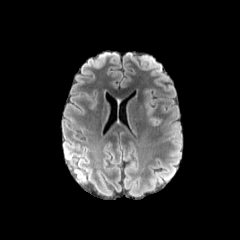
FLAIR MRI.
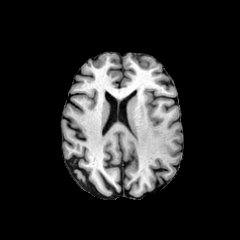
T1-weighted MRI.
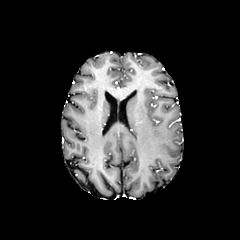
Post-contrast T1-weighted MR.
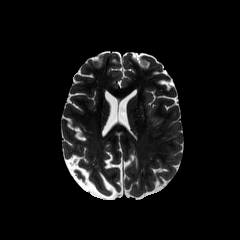
T2-weighted magnetic resonance.
Head
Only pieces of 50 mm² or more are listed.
{"peritumoral_edema": ["(143, 86, 154, 114)"]}